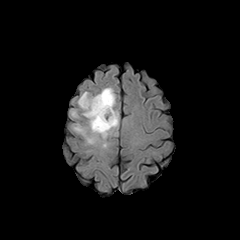
FLAIR MR image.
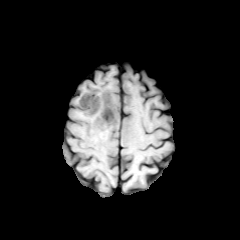
T1-weighted MR image of the same slice.
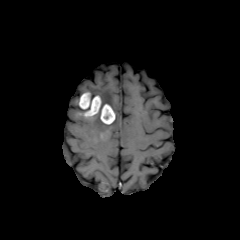
Post-contrast T1-weighted magnetic resonance.
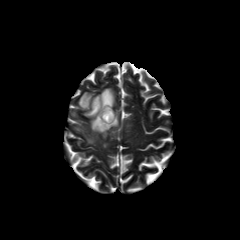
T2-weighted MR of the same slice.
Axial plane
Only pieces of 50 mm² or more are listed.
• necrotic tumor core: {"x1": 103, "y1": 109, "x2": 112, "y2": 119}
• enhancing tumor: {"x1": 79, "y1": 92, "x2": 115, "y2": 124}
• peritumoral edema: {"x1": 73, "y1": 110, "x2": 118, "y2": 144}, {"x1": 96, "y1": 87, "x2": 115, "y2": 109}